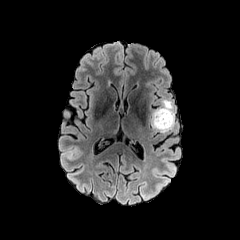
FLAIR magnetic resonance.
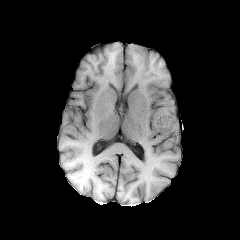
T1-weighted MRI of the same slice.
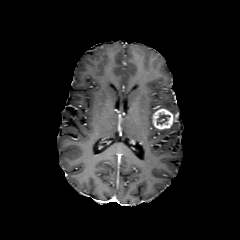
Post-contrast T1-weighted MR of the same slice.
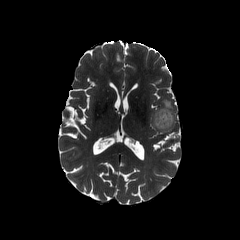
T2-weighted magnetic resonance.
Axial plane | 240x240 | Head
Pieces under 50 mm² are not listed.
Annotated regions:
• peritumoral edema: (left=151, top=117, right=174, bottom=132), (left=159, top=99, right=175, bottom=118)
• enhancing tumor: (left=152, top=108, right=174, bottom=129)
• necrotic tumor core: (left=157, top=114, right=169, bottom=124)